FLAIR MRI.
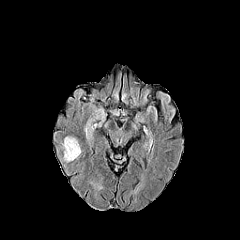
T1-weighted MRI.
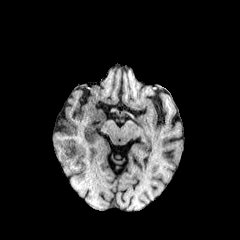
Post-contrast T1-weighted MR image.
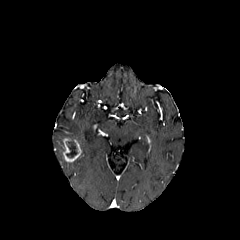
T2-weighted MRI.
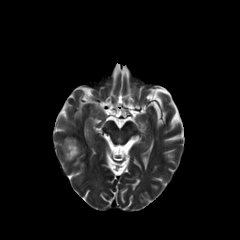
240x240; Head
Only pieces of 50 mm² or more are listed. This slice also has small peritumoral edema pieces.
Findings:
• necrotic tumor core: [66, 141, 77, 158]
• enhancing tumor: [63, 138, 81, 162]